Image covers 240 mm x 240 mm
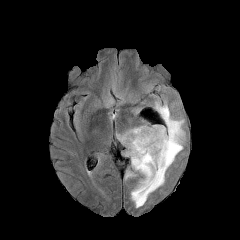
FLAIR magnetic resonance.
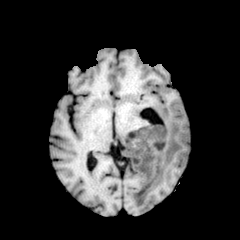
T1-weighted magnetic resonance of the same slice.
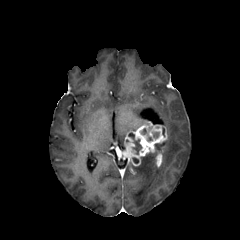
Post-contrast T1-weighted MRI.
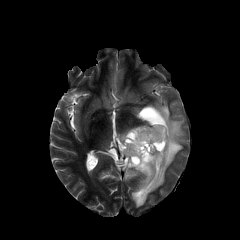
T2-weighted MR image of the same slice.
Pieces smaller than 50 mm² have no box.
enhancing tumor at [122,124,167,166], [156,147,164,167]
necrotic tumor core at [128,132,141,154]
peritumoral edema at [131,102,184,207], [117,127,138,144], [125,170,133,179]